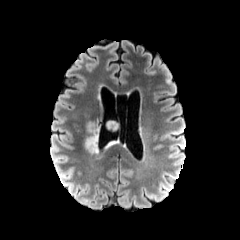
FLAIR magnetic resonance.
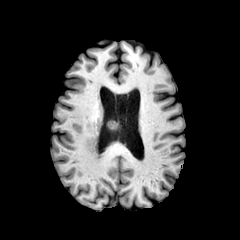
T1-weighted MR.
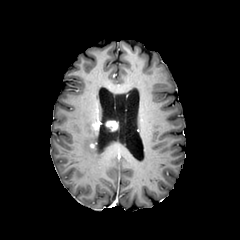
Same slice, post-contrast T1-weighted magnetic resonance.
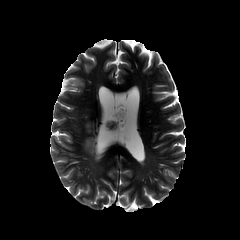
T2-weighted magnetic resonance of the same slice.
Axial view
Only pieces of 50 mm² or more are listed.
The largest peritumoral edema region lies within x1=84, y1=123, x2=97, y2=154. The 2 largest enhancing tumor regions are located at x1=92, y1=121, x2=99, y2=130; x1=106, y1=121, x2=118, y2=130.